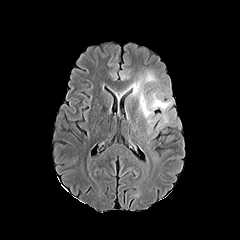
FLAIR MR image.
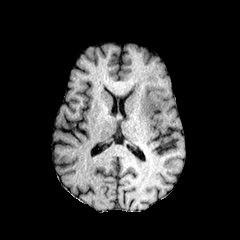
Same slice, T1-weighted MR image.
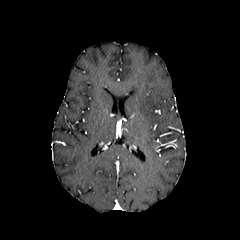
Post-contrast T1-weighted magnetic resonance.
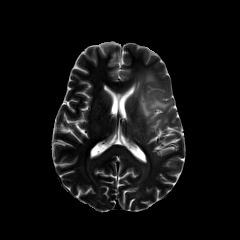
Same slice, T2-weighted MRI.
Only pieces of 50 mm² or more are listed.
peritumoral_edema:
  - rect(128, 72, 171, 123)